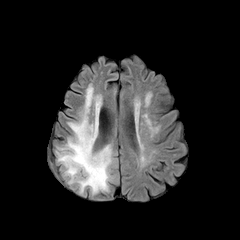
FLAIR magnetic resonance.
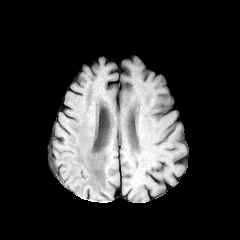
T1-weighted magnetic resonance of the same slice.
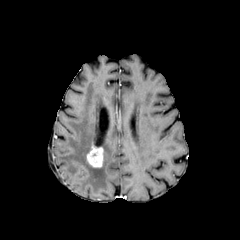
Same slice, post-contrast T1-weighted MR.
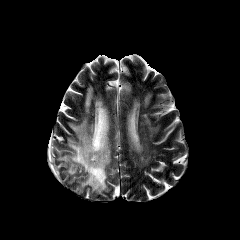
Same slice, T2-weighted MR image.
Axial plane. 240x240.
peritumoral edema at (left=57, top=85, right=112, bottom=193)
enhancing tumor at (left=86, top=145, right=103, bottom=167)